Slice 132 of 155; Axial view; Image width 240 mm, 1.00 mm slice spacing; Brain
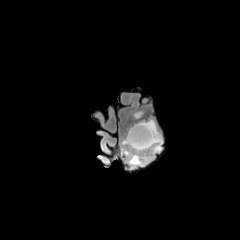
FLAIR MR image.
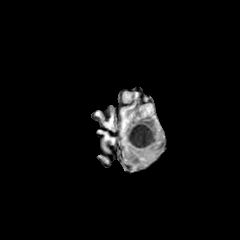
Same slice, T1-weighted MRI.
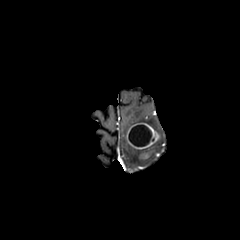
Post-contrast T1-weighted MR.
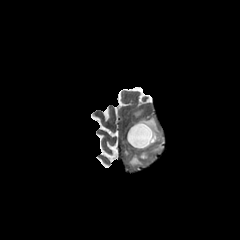
T2-weighted MR image of the same slice.
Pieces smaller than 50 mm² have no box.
3 peritumoral edema regions appear at bbox=[122, 134, 162, 167]; bbox=[141, 118, 159, 132]; bbox=[133, 111, 143, 118]. The largest necrotic tumor core region is located at bbox=[128, 125, 151, 146]. The enhancing tumor appears at bbox=[126, 122, 160, 159].